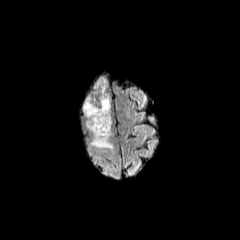
FLAIR MR.
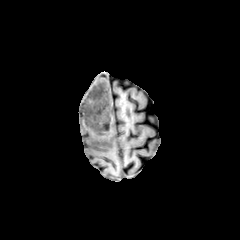
T1-weighted MRI.
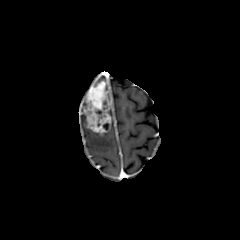
Post-contrast T1-weighted MR.
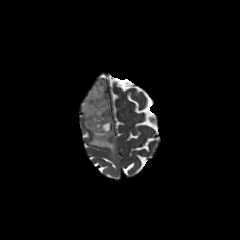
T2-weighted magnetic resonance.
Image size 240x240; Head
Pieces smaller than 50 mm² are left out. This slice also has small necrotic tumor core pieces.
The enhancing tumor appears at (x1=84, y1=81, x2=111, y2=135). The 2 largest peritumoral edema regions are bounded by (x1=93, y1=78, x2=107, y2=90), (x1=84, y1=114, x2=113, y2=151).